Image width 240 mm. Axial slice.
FLAIR magnetic resonance.
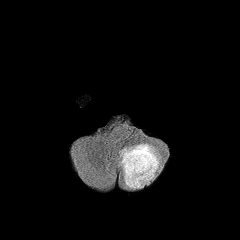
T1-weighted MR image.
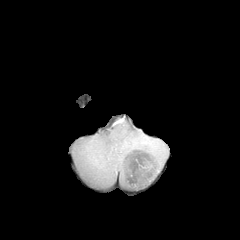
Post-contrast T1-weighted MRI.
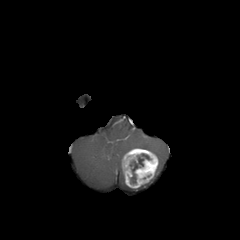
T2-weighted magnetic resonance.
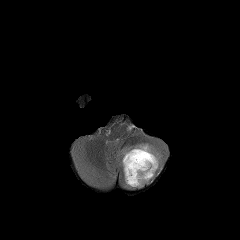
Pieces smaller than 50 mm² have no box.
necrotic tumor core: box(129, 153, 152, 184) | enhancing tumor: box(122, 148, 158, 188) | peritumoral edema: box(116, 142, 164, 188)